Image size 240x240. Axial slice. Head. Image width 240 mm.
FLAIR MR.
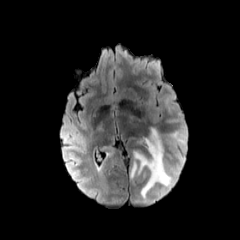
T1-weighted MRI.
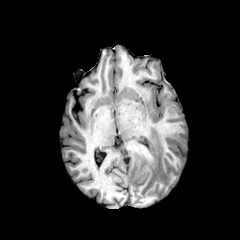
Post-contrast T1-weighted MRI.
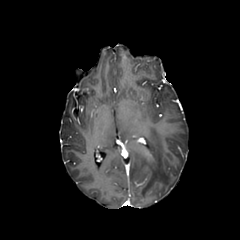
T2-weighted MRI.
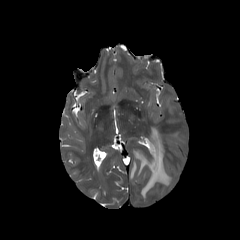
peritumoral edema: 130 128 171 198